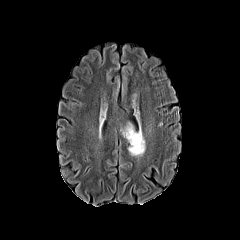
FLAIR MR image.
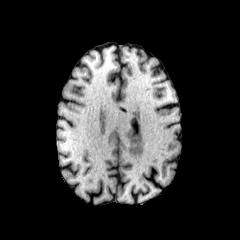
Same slice, T1-weighted magnetic resonance.
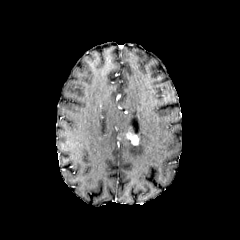
Same slice, post-contrast T1-weighted MR image.
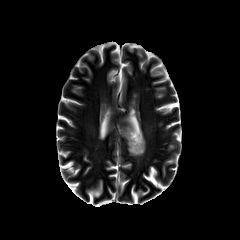
Same slice, T2-weighted MR.
Head.
The peritumoral edema is located at <bbox>123, 124, 145, 156</bbox>. The enhancing tumor is bounded by <bbox>125, 131, 139, 145</bbox>.